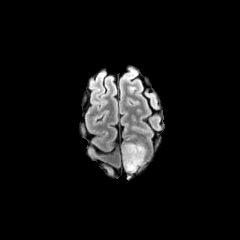
FLAIR MR image.
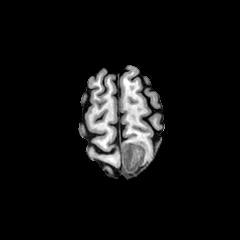
Same slice, T1-weighted MR.
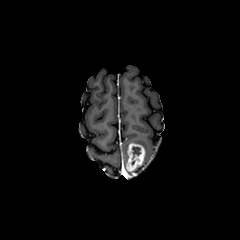
Post-contrast T1-weighted MR of the same slice.
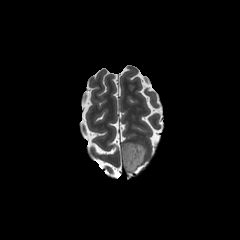
Same slice, T2-weighted MR.
240x240 px. Axial slice.
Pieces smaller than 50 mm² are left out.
necrotic tumor core: bounding box bbox=[132, 146, 140, 157]
enhancing tumor: bounding box bbox=[124, 143, 145, 171]
peritumoral edema: bounding box bbox=[122, 143, 129, 166]